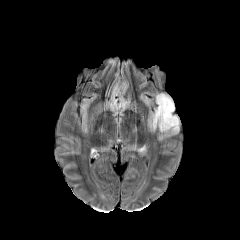
FLAIR MR.
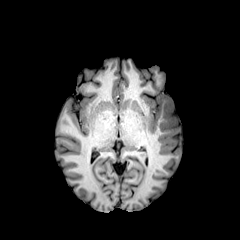
T1-weighted magnetic resonance.
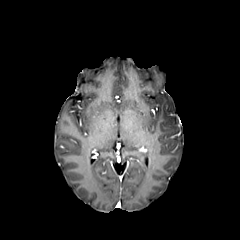
Post-contrast T1-weighted MRI.
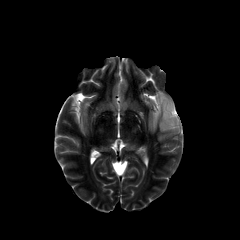
T2-weighted MRI.
Brain
Findings:
- peritumoral edema: (153,94,179,133)